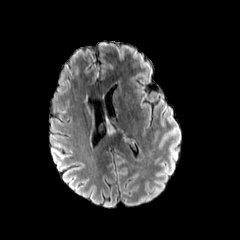
FLAIR magnetic resonance.
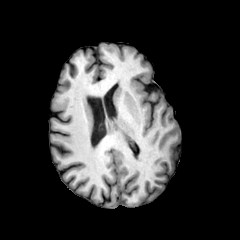
T1-weighted MRI.
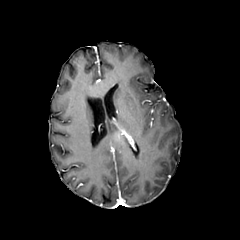
Post-contrast T1-weighted MRI.
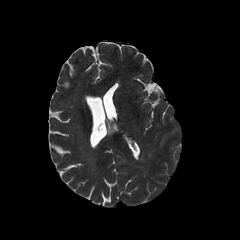
T2-weighted MRI.
Head, 240x240 px, Axial slice
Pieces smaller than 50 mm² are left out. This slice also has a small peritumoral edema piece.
The enhancing tumor appears at (left=121, top=130, right=130, bottom=140).